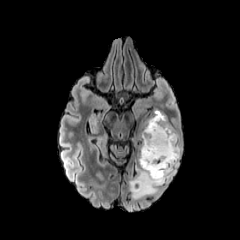
FLAIR MR image.
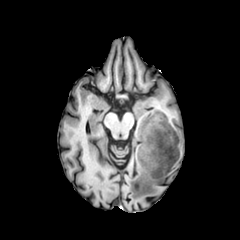
T1-weighted magnetic resonance of the same slice.
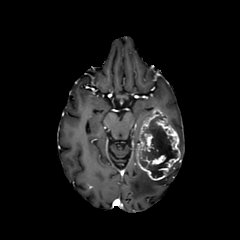
Same slice, post-contrast T1-weighted MRI.
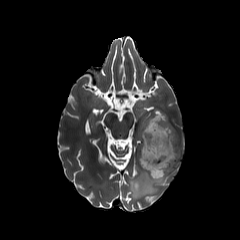
Same slice, T2-weighted magnetic resonance.
Head
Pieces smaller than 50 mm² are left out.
{"peritumoral_edema": ["175 129 182 155", "129 160 179 198"], "necrotic_tumor_core": ["140 116 177 177"], "enhancing_tumor": ["152 155 165 164", "136 109 180 180", "145 134 153 148"]}